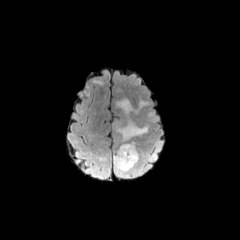
FLAIR MR.
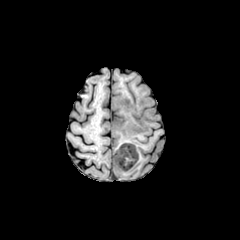
T1-weighted magnetic resonance.
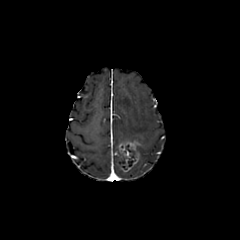
Same slice, post-contrast T1-weighted MRI.
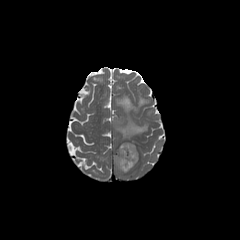
T2-weighted magnetic resonance.
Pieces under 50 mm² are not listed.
Annotated regions:
- necrotic tumor core: [126,145,134,158], [119,154,126,164]
- enhancing tumor: [115,141,140,172]
- peritumoral edema: [113,154,142,177], [116,120,148,141], [139,100,148,107], [117,99,136,114]